FLAIR MR image.
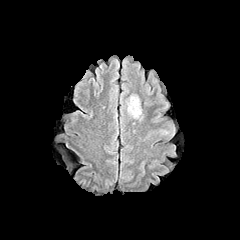
T1-weighted MR.
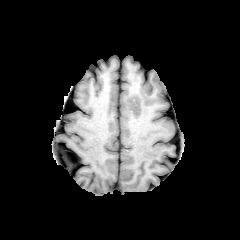
Post-contrast T1-weighted magnetic resonance.
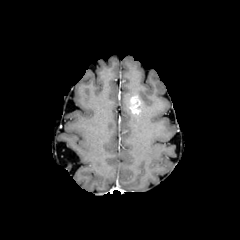
T2-weighted MR image.
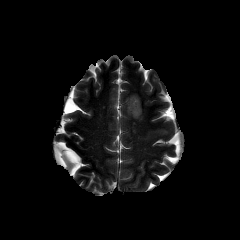
Head; Axial plane
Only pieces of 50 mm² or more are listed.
Segmented structures:
* enhancing tumor: [x1=129, y1=95, x2=140, y2=115]
* peritumoral edema: [x1=126, y1=98, x2=142, y2=120]